240x240. Brain. Axial view.
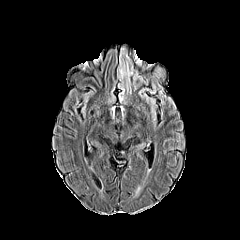
FLAIR magnetic resonance.
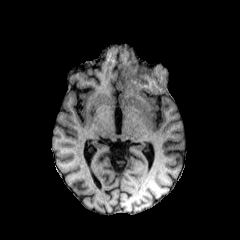
T1-weighted MRI.
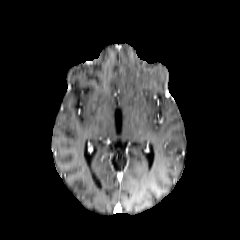
Post-contrast T1-weighted magnetic resonance.
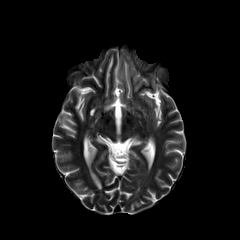
Same slice, T2-weighted magnetic resonance.
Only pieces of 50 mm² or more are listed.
peritumoral edema at 121, 62, 133, 92